Head | Axial view | Image width 240 mm
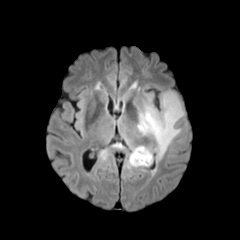
FLAIR MR image.
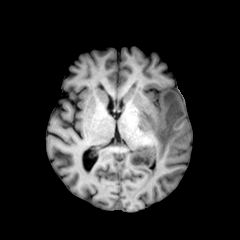
T1-weighted MRI of the same slice.
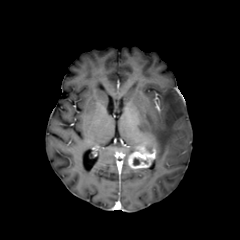
Post-contrast T1-weighted MRI.
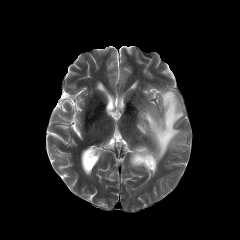
T2-weighted magnetic resonance of the same slice.
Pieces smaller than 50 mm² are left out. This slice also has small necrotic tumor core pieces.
peritumoral edema: 137:91:184:162 | enhancing tumor: 128:146:155:168